FLAIR MRI.
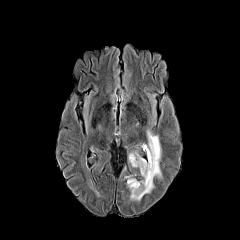
T1-weighted MRI.
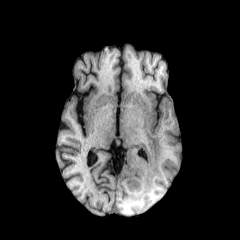
Post-contrast T1-weighted MR image.
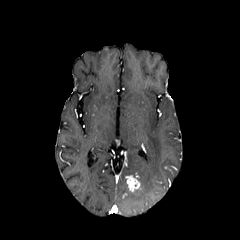
T2-weighted magnetic resonance.
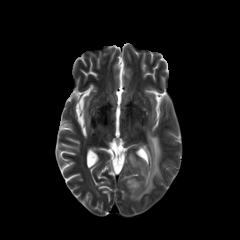
Axial plane, Head
peritumoral_edema:
  - 128,131,161,200
enhancing_tumor:
  - 125,175,141,192